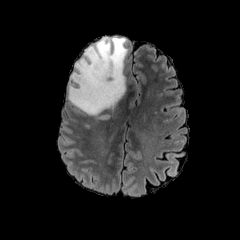
FLAIR magnetic resonance.
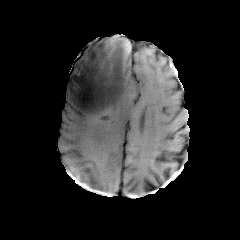
Same slice, T1-weighted magnetic resonance.
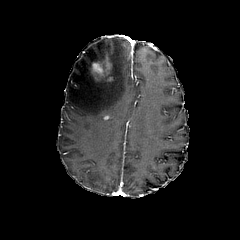
Post-contrast T1-weighted MRI.
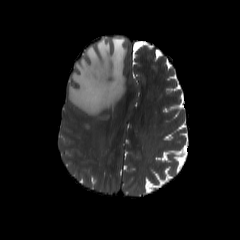
T2-weighted MRI of the same slice.
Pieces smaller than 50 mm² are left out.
enhancing_tumor:
  - region(91, 57, 111, 83)
peritumoral_edema:
  - region(68, 37, 128, 116)